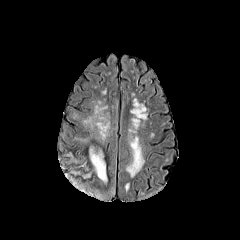
FLAIR MRI.
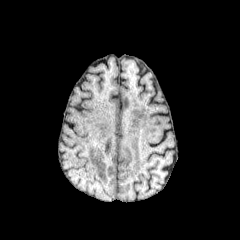
Same slice, T1-weighted MR.
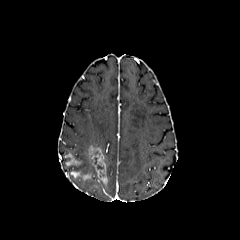
Post-contrast T1-weighted magnetic resonance.
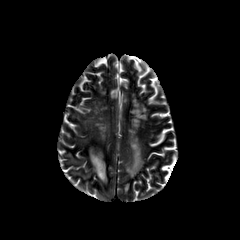
T2-weighted MR.
240x240. Axial view. Head.
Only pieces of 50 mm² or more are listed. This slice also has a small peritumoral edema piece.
The largest necrotic tumor core region appears at {"x1": 94, "y1": 157, "x2": 103, "y2": 169}. The 2 largest enhancing tumor regions appear at {"x1": 89, "y1": 145, "x2": 107, "y2": 184}, {"x1": 65, "y1": 153, "x2": 81, "y2": 165}.